Slice 129/155, 240x240, Image covers 240 mm x 240 mm
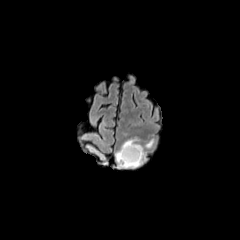
FLAIR MR image.
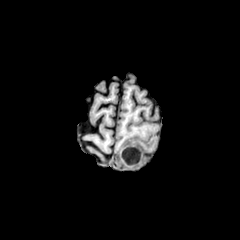
T1-weighted MR image.
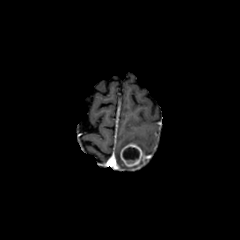
Post-contrast T1-weighted MR image of the same slice.
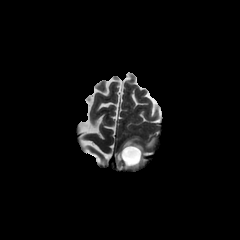
T2-weighted MR.
{
  "necrotic_tumor_core": [
    "bbox(123, 147, 139, 162)"
  ],
  "enhancing_tumor": [
    "bbox(120, 142, 146, 169)"
  ],
  "peritumoral_edema": [
    "bbox(116, 138, 145, 168)",
    "bbox(146, 139, 154, 147)"
  ]
}